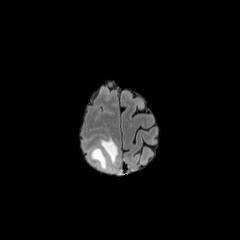
FLAIR magnetic resonance.
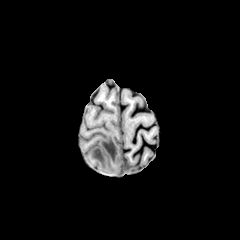
Same slice, T1-weighted MR.
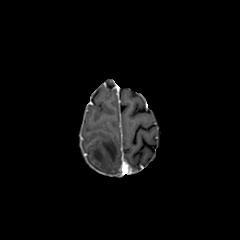
Same slice, post-contrast T1-weighted MR.
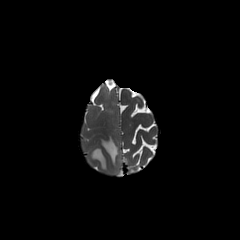
T2-weighted MR.
Image size 240x240
peritumoral edema — 90, 136, 118, 171